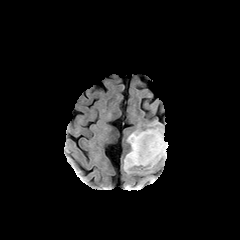
FLAIR magnetic resonance.
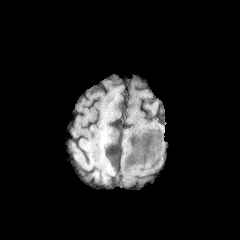
T1-weighted magnetic resonance.
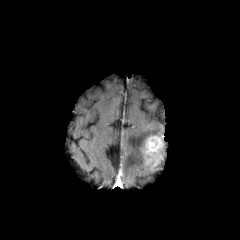
Post-contrast T1-weighted MR image.
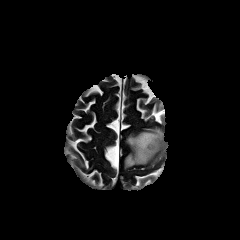
T2-weighted MR image.
Axial view
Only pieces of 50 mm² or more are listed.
{
  "enhancing_tumor": [
    "l=141, t=135, r=164, b=166"
  ],
  "peritumoral_edema": [
    "l=161, t=141, r=167, b=159",
    "l=124, t=127, r=163, b=172"
  ]
}